FLAIR MR image.
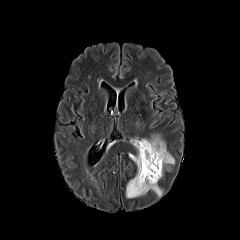
T1-weighted MR.
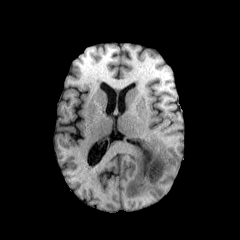
Post-contrast T1-weighted MRI.
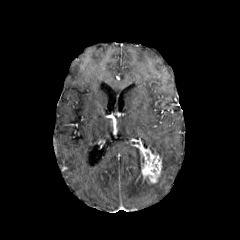
T2-weighted MRI.
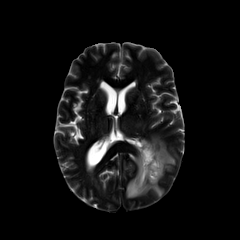
The enhancing tumor appears at {"x1": 130, "y1": 143, "x2": 161, "y2": 185}. 2 peritumoral edema regions appear at {"x1": 126, "y1": 147, "x2": 163, "y2": 198}, {"x1": 140, "y1": 132, "x2": 174, "y2": 180}.